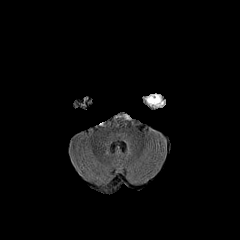
FLAIR magnetic resonance.
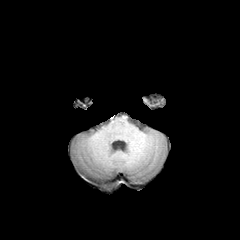
T1-weighted magnetic resonance.
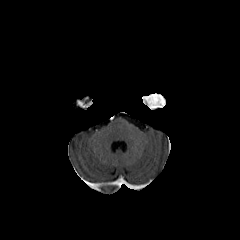
Post-contrast T1-weighted MRI.
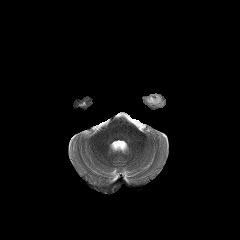
Same slice, T2-weighted MRI.
Axial view; Image size 240x240; Head
enhancing tumor = left=146, top=93, right=165, bottom=107